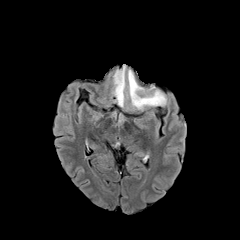
FLAIR magnetic resonance.
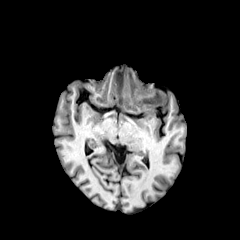
Same slice, T1-weighted MR.
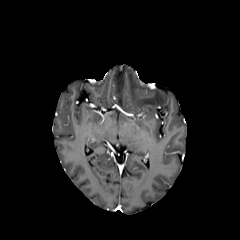
Same slice, post-contrast T1-weighted MR image.
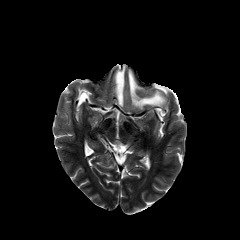
T2-weighted magnetic resonance of the same slice.
240x240, Brain
peritumoral_edema:
  - {"x1": 113, "y1": 66, "x2": 125, "y2": 106}
  - {"x1": 128, "y1": 70, "x2": 166, "y2": 109}